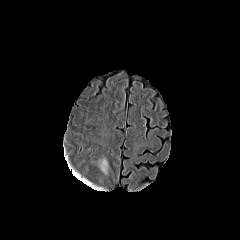
FLAIR MRI.
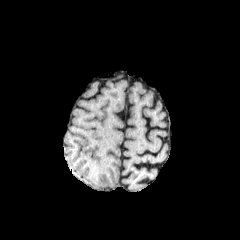
Same slice, T1-weighted MR image.
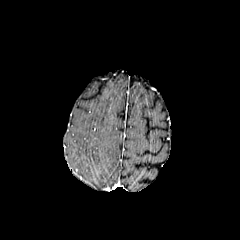
Post-contrast T1-weighted MRI of the same slice.
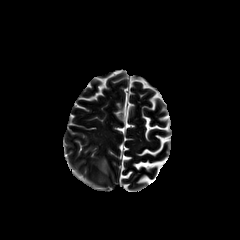
T2-weighted MR image of the same slice.
Axial view
The peritumoral edema appears at x1=100 y1=159 x2=107 y2=173.